FLAIR MR image.
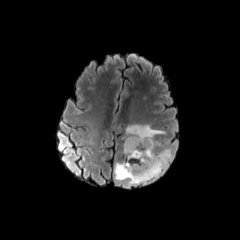
T1-weighted MR.
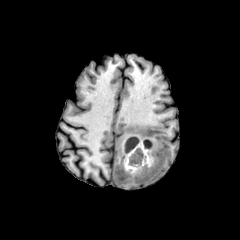
Post-contrast T1-weighted MR image.
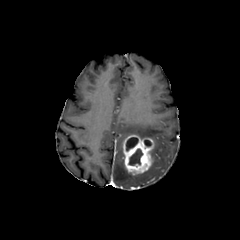
T2-weighted MR image.
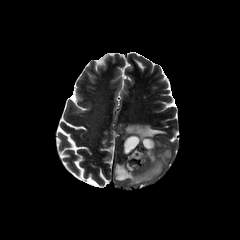
Image size 240x240
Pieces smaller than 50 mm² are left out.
The enhancing tumor is located at x1=123 y1=135 x2=154 y2=174. The 2 largest necrotic tumor core regions are bounded by x1=128 y1=149 x2=142 y2=165, x1=126 y1=137 x2=138 y2=151. The largest peritumoral edema region is located at x1=114 y1=124 x2=171 y2=186.